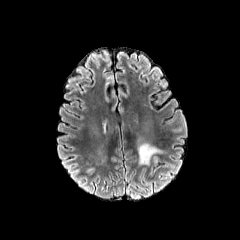
FLAIR MRI.
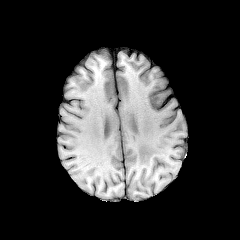
T1-weighted MR image.
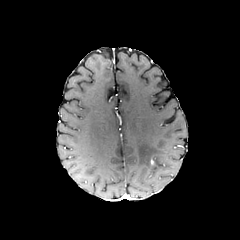
Post-contrast T1-weighted MR image.
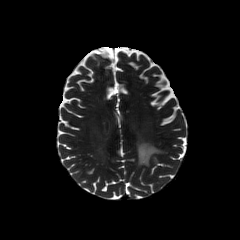
T2-weighted MRI.
240x240 px; Axial slice; Brain
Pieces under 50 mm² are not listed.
Findings:
* peritumoral edema: bbox(138, 143, 161, 164)